Slice 109/155
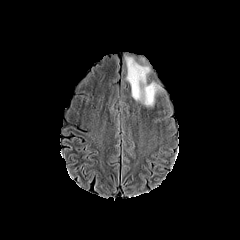
FLAIR MR image.
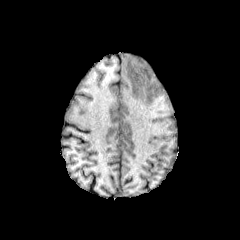
T1-weighted magnetic resonance.
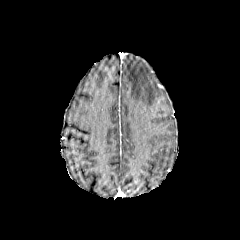
Post-contrast T1-weighted MRI.
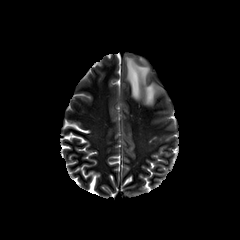
T2-weighted magnetic resonance of the same slice.
The peritumoral edema is at region(124, 54, 165, 108).